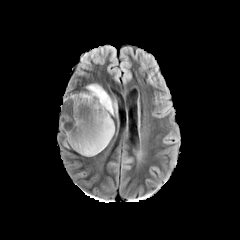
FLAIR MRI.
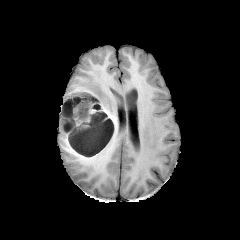
Same slice, T1-weighted MRI.
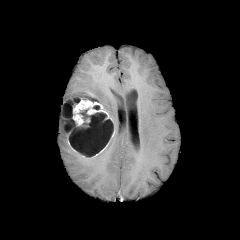
Same slice, post-contrast T1-weighted MR.
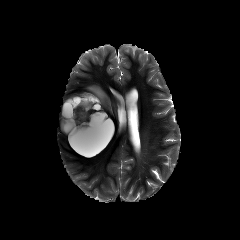
T2-weighted MRI of the same slice.
Axial plane
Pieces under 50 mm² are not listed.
The 5 largest necrotic tumor core regions appear at box=[62, 119, 76, 131]; box=[61, 101, 72, 117]; box=[67, 96, 80, 103]; box=[79, 108, 88, 119]; box=[69, 112, 113, 156]. The largest enhancing tumor region appears at box=[59, 93, 110, 144]. The largest peritumoral edema region appears at box=[86, 84, 116, 115].